FLAIR MRI.
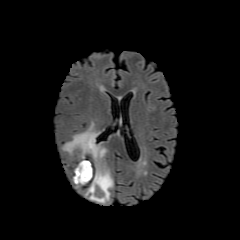
T1-weighted MR.
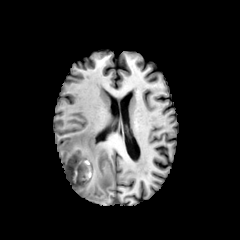
Post-contrast T1-weighted magnetic resonance.
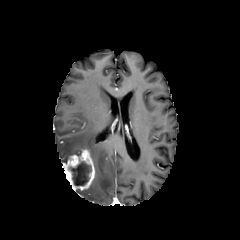
T2-weighted MR.
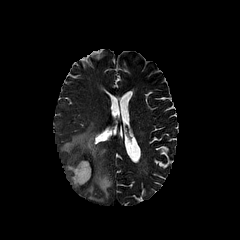
Axial view
peritumoral edema = (62, 122, 113, 203)
enhancing tumor = (63, 149, 94, 190)
necrotic tumor core = (70, 161, 91, 185)